Axial slice; Slice index 98; 240x240
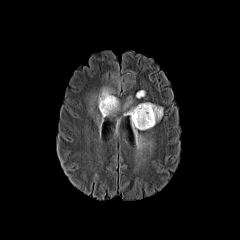
FLAIR MR.
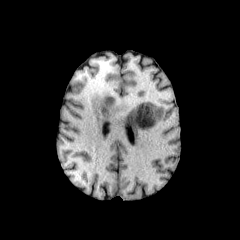
T1-weighted MR image.
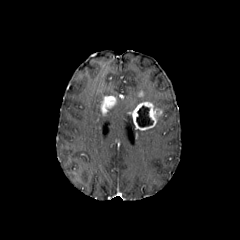
Same slice, post-contrast T1-weighted MR image.
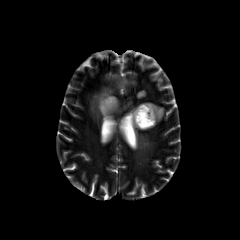
Same slice, T2-weighted MR.
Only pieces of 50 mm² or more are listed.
Segmented structures:
* necrotic tumor core: [136,105,153,127]
* peritumoral edema: [97,87,113,111], [102,99,119,121], [130,115,150,149]
* enhancing tumor: [100,95,116,114], [129,102,162,130]